FLAIR magnetic resonance.
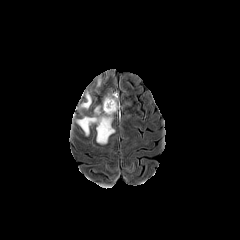
T1-weighted MR image.
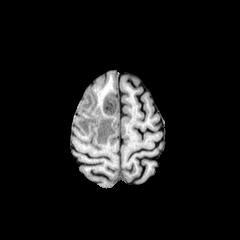
Post-contrast T1-weighted MR.
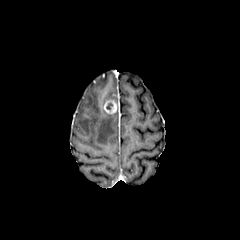
T2-weighted magnetic resonance.
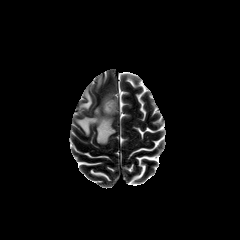
Axial plane. Brain.
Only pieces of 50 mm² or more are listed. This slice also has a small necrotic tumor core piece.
Segmented structures:
• enhancing tumor: 103:99:119:113
• peritumoral edema: 103:93:117:106, 79:90:91:109, 76:106:115:144